FLAIR MRI.
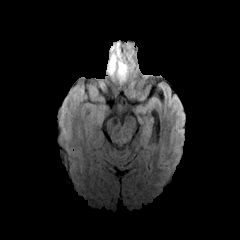
T1-weighted magnetic resonance.
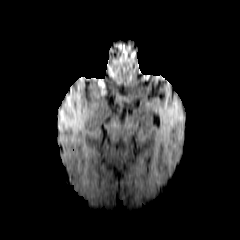
Post-contrast T1-weighted MR image.
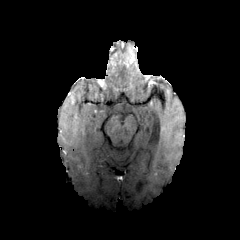
T2-weighted MRI.
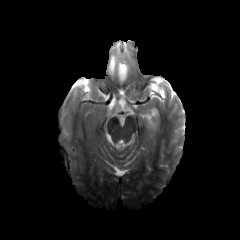
Axial plane. 240x240.
peritumoral edema = region(108, 50, 127, 81)